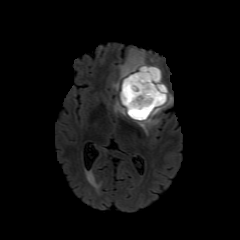
FLAIR MRI.
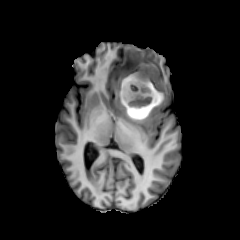
T1-weighted MR image.
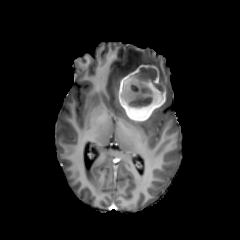
Post-contrast T1-weighted MR image of the same slice.
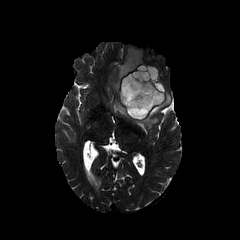
T2-weighted MR.
3 peritumoral edema regions appear at rect(113, 99, 127, 116); rect(134, 68, 172, 134); rect(112, 48, 146, 95). The necrotic tumor core lies within rect(121, 67, 164, 117). The enhancing tumor is at rect(119, 65, 165, 121).